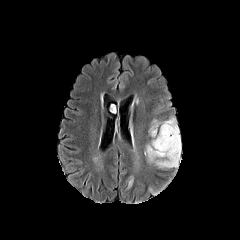
FLAIR MR.
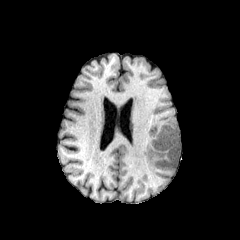
Same slice, T1-weighted MR.
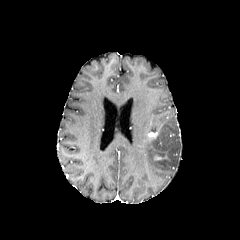
Post-contrast T1-weighted MR of the same slice.
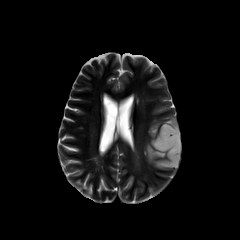
T2-weighted MRI.
Axial slice, Image size 240x240, Head
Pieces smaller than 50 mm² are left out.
Annotated regions:
* enhancing tumor: l=148, t=132, r=157, b=138
* peritumoral edema: l=144, t=116, r=181, b=168